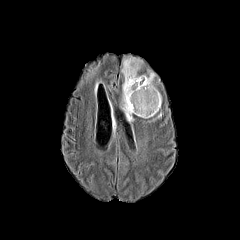
FLAIR magnetic resonance.
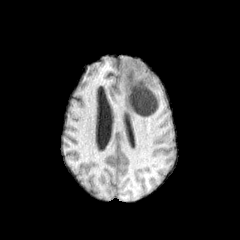
Same slice, T1-weighted MR image.
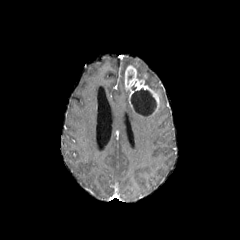
Post-contrast T1-weighted MR image.
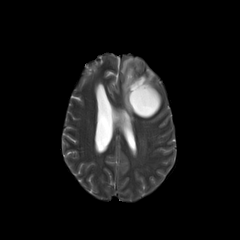
Same slice, T2-weighted MR image.
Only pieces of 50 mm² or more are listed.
The 3 largest peritumoral edema regions are located at region(137, 72, 161, 108); region(121, 58, 139, 74); region(122, 83, 133, 121). The largest necrotic tumor core region lies within region(130, 88, 156, 116). The largest enhancing tumor region appears at region(125, 65, 159, 115).